FLAIR MRI.
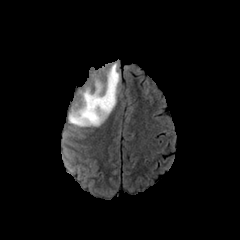
T1-weighted MR.
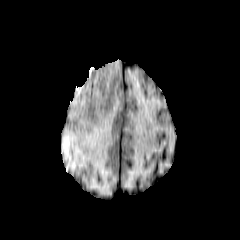
Post-contrast T1-weighted MR.
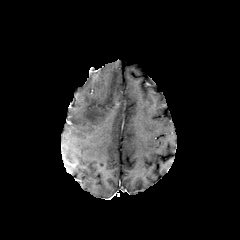
T2-weighted MR.
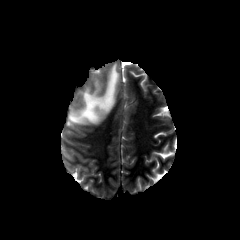
peritumoral edema at <bbox>69, 63, 120, 125</bbox>